FLAIR MR image.
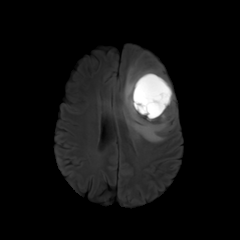
T1-weighted MR image.
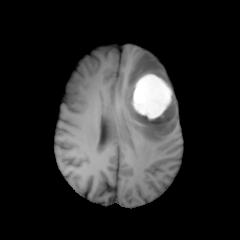
Post-contrast T1-weighted magnetic resonance.
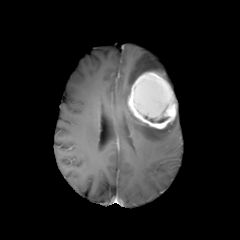
T2-weighted MR.
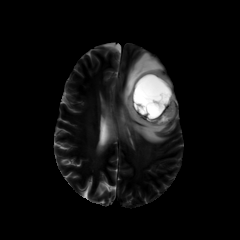
Axial plane
<segmentation>
  <necrotic_tumor_core><bbox>144, 116, 169, 123</bbox></necrotic_tumor_core>
  <peritumoral_edema><bbox>120, 52, 176, 143</bbox></peritumoral_edema>
  <enhancing_tumor><bbox>127, 72, 176, 128</bbox></enhancing_tumor>
</segmentation>